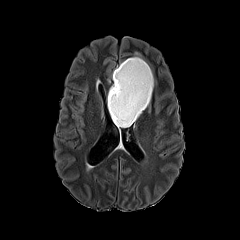
FLAIR MR image.
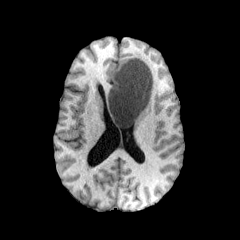
Same slice, T1-weighted MR.
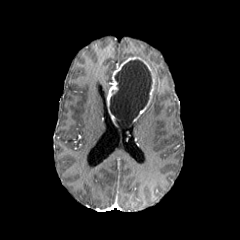
Post-contrast T1-weighted MR.
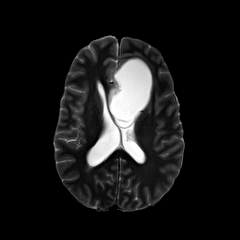
T2-weighted magnetic resonance.
Axial slice.
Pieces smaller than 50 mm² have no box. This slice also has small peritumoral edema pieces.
{"necrotic_tumor_core": ["(109, 59, 152, 127)"], "enhancing_tumor": ["(107, 57, 154, 125)"]}